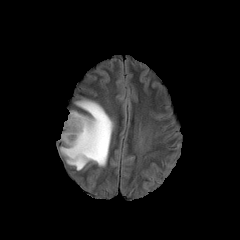
FLAIR MR image.
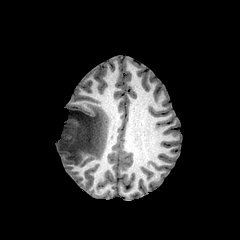
T1-weighted magnetic resonance of the same slice.
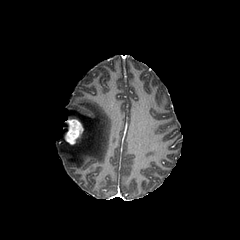
Post-contrast T1-weighted MRI.
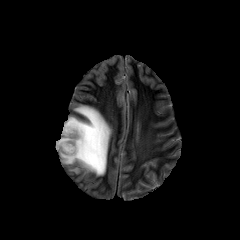
T2-weighted MR.
Brain.
enhancing tumor = box=[65, 119, 83, 144]
peritumoral edema = box=[59, 100, 113, 170]